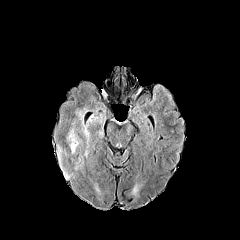
FLAIR MR image.
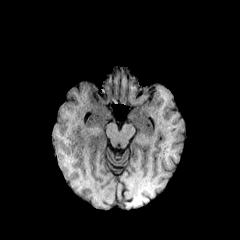
Same slice, T1-weighted MR image.
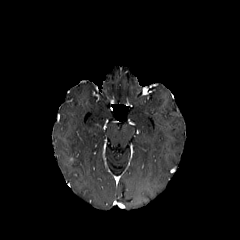
Post-contrast T1-weighted MRI.
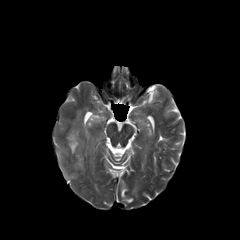
T2-weighted MRI.
Brain, Axial view
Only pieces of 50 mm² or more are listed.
- peritumoral edema: (left=56, top=145, right=70, bottom=177), (left=72, top=156, right=82, bottom=169), (left=67, top=130, right=78, bottom=153), (left=82, top=122, right=89, bottom=141)